FLAIR magnetic resonance.
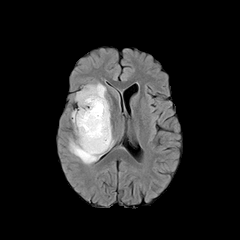
T1-weighted magnetic resonance.
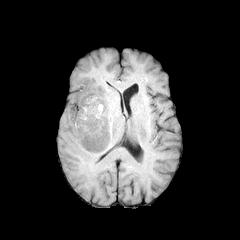
Post-contrast T1-weighted MRI.
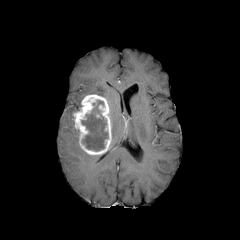
T2-weighted MR image.
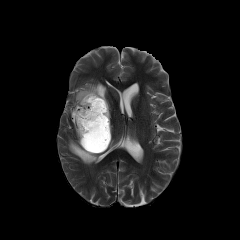
Axial plane, Head, 240x240
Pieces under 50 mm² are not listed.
<segmentation>
  <enhancing_tumor>72 94 111 155</enhancing_tumor>
  <peritumoral_edema>75 82 106 107, 69 120 100 164</peritumoral_edema>
  <necrotic_tumor_core>82 101 107 151</necrotic_tumor_core>
</segmentation>